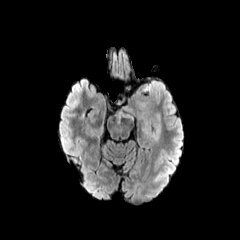
FLAIR MR.
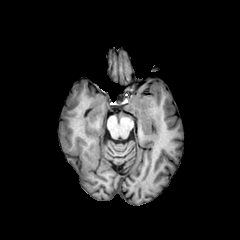
T1-weighted magnetic resonance.
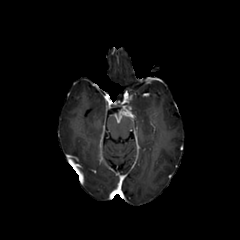
Post-contrast T1-weighted MR image of the same slice.
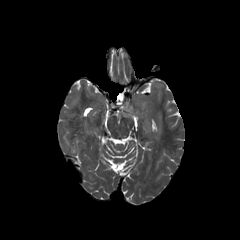
T2-weighted magnetic resonance of the same slice.
Axial slice. 240x240 px.
Segmented structures:
* enhancing tumor: (x1=115, y1=98, x2=132, y2=122)
* peritumoral edema: (x1=135, y1=96, x2=160, y2=139)